FLAIR magnetic resonance.
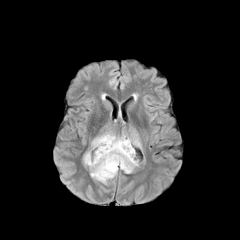
T1-weighted MRI.
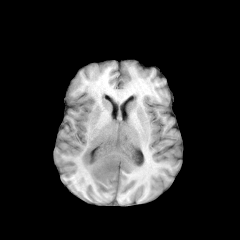
Post-contrast T1-weighted MR image.
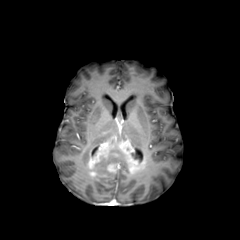
T2-weighted MR.
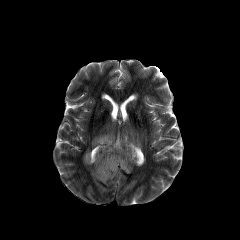
Brain
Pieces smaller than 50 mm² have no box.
necrotic tumor core = [x1=131, y1=143, x2=142, y2=161], [x1=92, y1=149, x2=130, y2=177]
enhancing tumor = [x1=86, y1=136, x2=145, y2=179]
peritumoral edema = [x1=93, y1=177, x2=108, y2=184], [x1=127, y1=135, x2=141, y2=148], [x1=91, y1=132, x2=115, y2=146], [x1=83, y1=151, x2=89, y2=164]